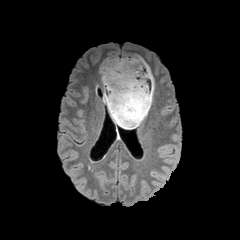
FLAIR magnetic resonance.
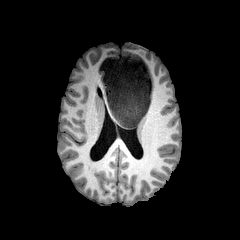
T1-weighted magnetic resonance.
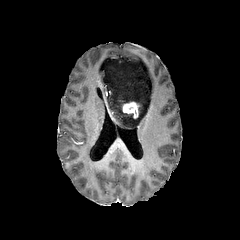
Post-contrast T1-weighted MRI.
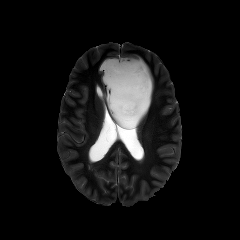
T2-weighted MR image.
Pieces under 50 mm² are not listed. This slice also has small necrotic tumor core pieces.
peritumoral edema = x1=100, y1=56, x2=154, y2=127
enhancing tumor = x1=122, y1=101, x2=139, y2=118